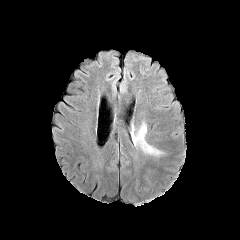
FLAIR MR image.
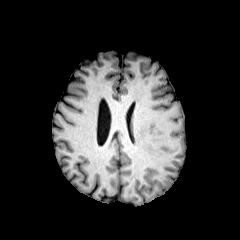
Same slice, T1-weighted MRI.
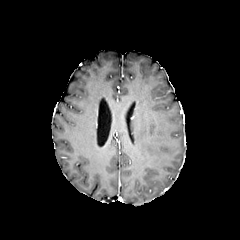
Same slice, post-contrast T1-weighted MRI.
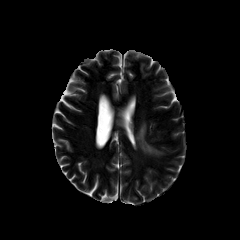
T2-weighted MR.
Head
{
  "peritumoral_edema": [
    "x1=133 y1=123 x2=162 y2=155"
  ]
}